Slice 83 of 155; Axial view; Head; Image width 240 mm, 1.00 mm slice spacing
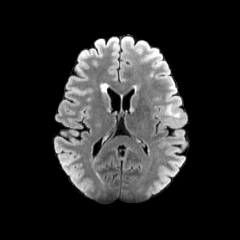
FLAIR MR image.
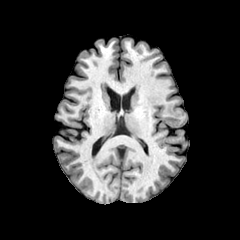
T1-weighted MR image of the same slice.
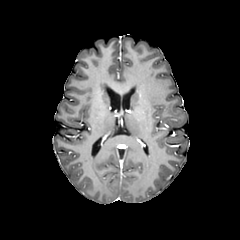
Post-contrast T1-weighted MRI.
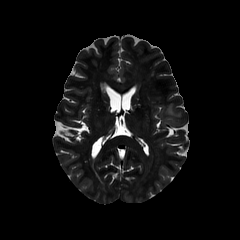
T2-weighted MR.
- peritumoral edema: (165,105,178,118)